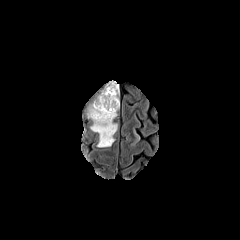
FLAIR MR image.
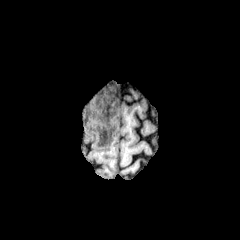
Same slice, T1-weighted MRI.
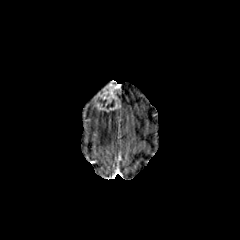
Post-contrast T1-weighted MR image of the same slice.
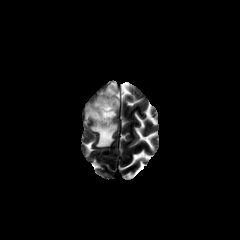
Same slice, T2-weighted magnetic resonance.
Axial slice
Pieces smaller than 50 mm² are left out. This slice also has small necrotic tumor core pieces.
The enhancing tumor appears at (93, 81, 120, 112). The peritumoral edema is located at (88, 108, 117, 147).